FLAIR MR image.
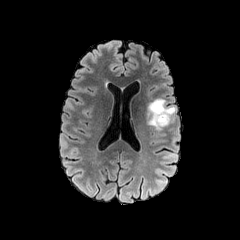
T1-weighted MR image.
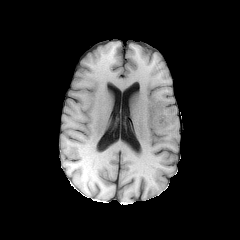
Post-contrast T1-weighted MR.
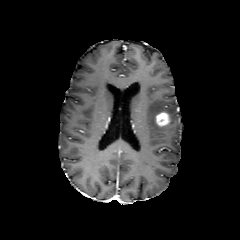
T2-weighted MR image.
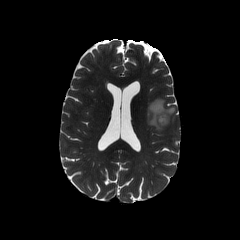
240x240 px. Head.
enhancing tumor: l=155, t=112, r=170, b=126
peritumoral edema: l=147, t=98, r=176, b=130